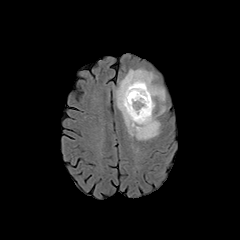
FLAIR MR image.
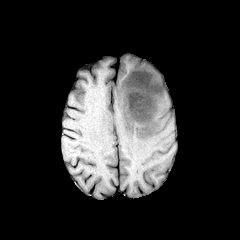
Same slice, T1-weighted magnetic resonance.
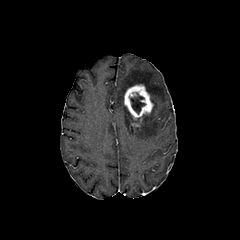
Post-contrast T1-weighted MRI of the same slice.
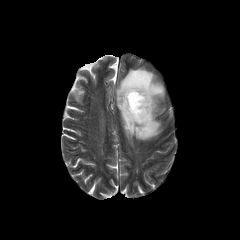
T2-weighted MRI.
Axial plane
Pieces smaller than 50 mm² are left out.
{"peritumoral_edema": ["<box>116,68,165,140</box>"], "enhancing_tumor": ["<box>124,84,153,122</box>"], "necrotic_tumor_core": ["<box>130,93,145,113</box>"]}